FLAIR MR.
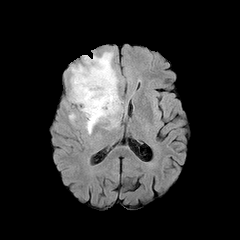
T1-weighted MR.
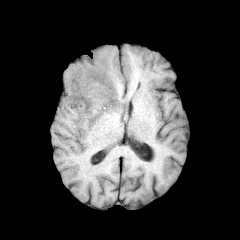
Post-contrast T1-weighted MR.
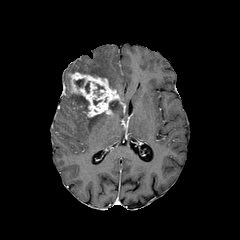
T2-weighted magnetic resonance.
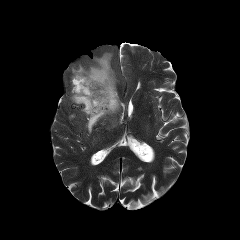
Axial plane | 240x240 px | Head
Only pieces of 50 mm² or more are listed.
The largest necrotic tumor core region appears at x1=74, y1=79, x2=84, y2=87. The 2 largest peritumoral edema regions are bounded by x1=70, y1=94, x2=120, y2=133; x1=71, y1=52, x2=117, y2=89. The enhancing tumor is located at x1=70, y1=72, x2=121, y2=117.